Image covers 240 mm x 240 mm. Slice 43 of 155.
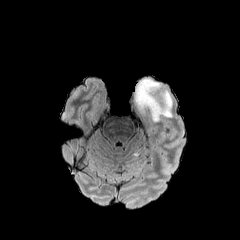
FLAIR MR image.
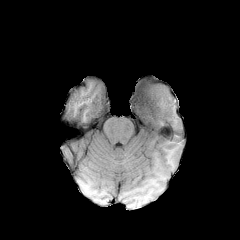
Same slice, T1-weighted MR.
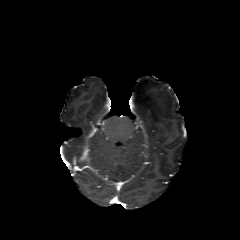
Post-contrast T1-weighted MR image.
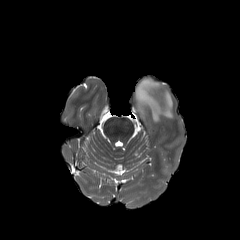
Same slice, T2-weighted MRI.
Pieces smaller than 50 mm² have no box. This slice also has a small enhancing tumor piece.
peritumoral_edema:
  - (133,78,173,123)